FLAIR MR image.
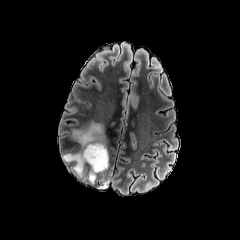
T1-weighted magnetic resonance.
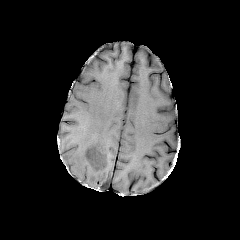
Post-contrast T1-weighted MR.
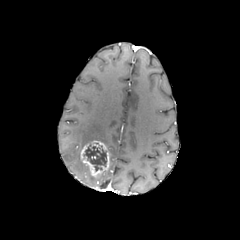
T2-weighted MR image.
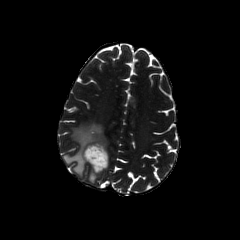
Brain, 240x240
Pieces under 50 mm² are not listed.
peritumoral edema: bounding box <bbox>63, 122, 107, 177</bbox>
enhancing tumor: bounding box <bbox>80, 140, 109, 177</bbox>
necrotic tumor core: bounding box <bbox>83, 145, 106, 171</bbox>